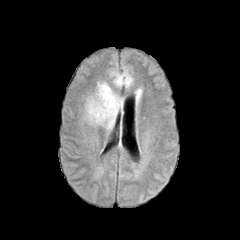
FLAIR MR image.
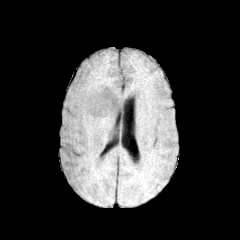
T1-weighted magnetic resonance of the same slice.
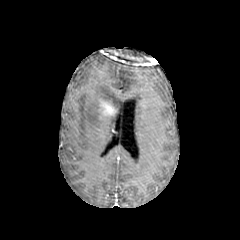
Same slice, post-contrast T1-weighted MR image.
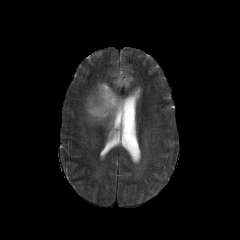
T2-weighted MR image.
Axial slice
<segmentation>
  <enhancing_tumor>region(98, 99, 116, 116)</enhancing_tumor>
  <peritumoral_edema>region(110, 69, 133, 87); region(84, 81, 124, 129)</peritumoral_edema>
</segmentation>